Slice 95/155 | Axial view | Head
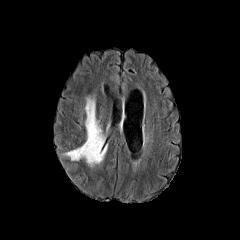
FLAIR MRI.
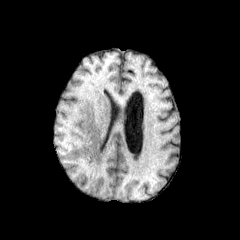
T1-weighted magnetic resonance.
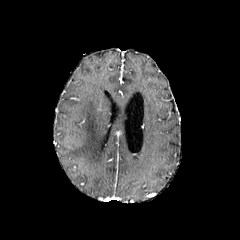
Post-contrast T1-weighted magnetic resonance of the same slice.
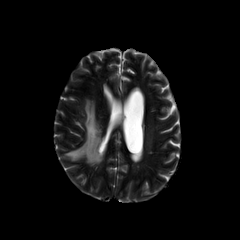
T2-weighted MR.
peritumoral edema: (65,98,106,166)